FLAIR MR.
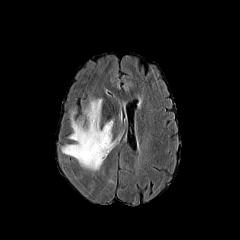
T1-weighted magnetic resonance.
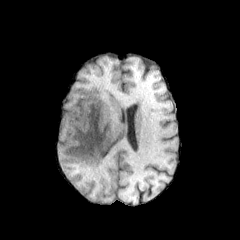
Post-contrast T1-weighted MRI.
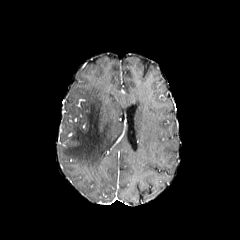
T2-weighted magnetic resonance.
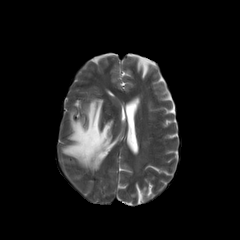
Axial plane
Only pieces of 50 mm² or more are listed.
peritumoral edema: 60, 98, 121, 171